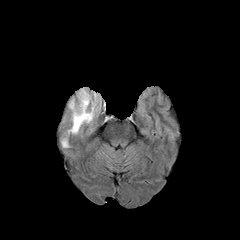
FLAIR MR.
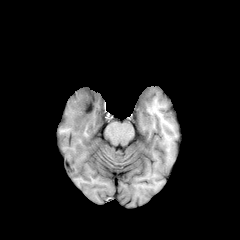
T1-weighted MR image.
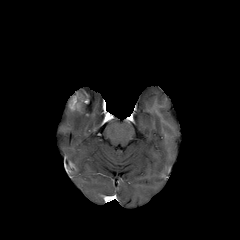
Post-contrast T1-weighted MR image.
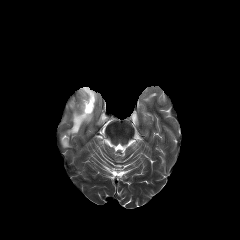
T2-weighted magnetic resonance.
Head, 240x240, Axial view
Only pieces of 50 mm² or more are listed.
The 2 largest peritumoral edema regions are bounded by left=61, top=135, right=69, bottom=147; left=67, top=87, right=101, bottom=134. The largest enhancing tumor region is at left=69, top=90, right=89, bottom=112.